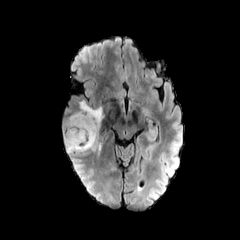
FLAIR magnetic resonance.
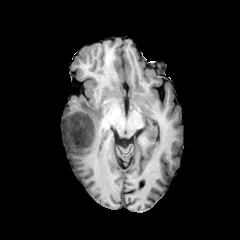
T1-weighted MR of the same slice.
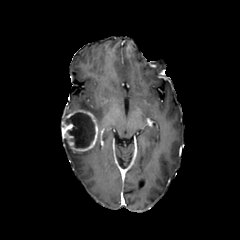
Post-contrast T1-weighted magnetic resonance.
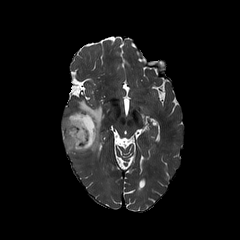
Same slice, T2-weighted MR.
Head
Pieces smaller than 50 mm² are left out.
peritumoral edema: 91:137:101:158, 78:100:104:136, 63:140:73:155
necrotic tumor core: 65:112:95:147
enhancing tumor: 61:108:98:152